FLAIR MR image.
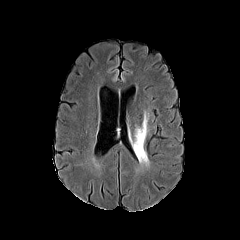
T1-weighted MR.
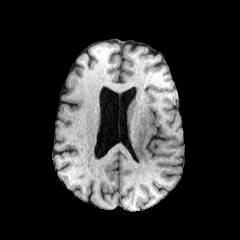
Post-contrast T1-weighted MR image.
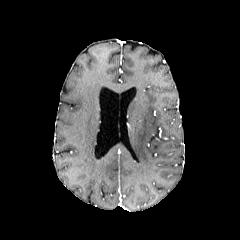
T2-weighted MR image.
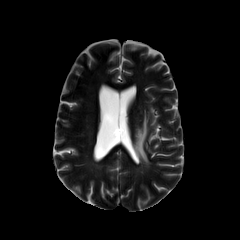
Head; Axial view
- peritumoral edema: [131,112,149,165]